FLAIR MR.
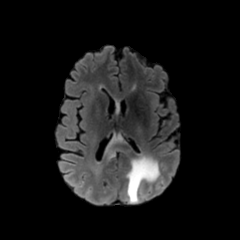
T1-weighted MR.
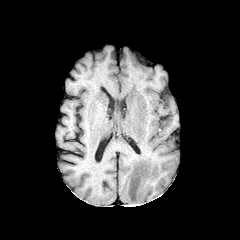
Post-contrast T1-weighted magnetic resonance.
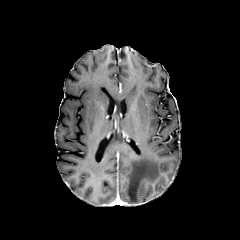
T2-weighted magnetic resonance.
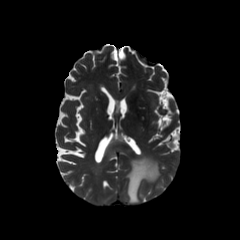
Axial plane
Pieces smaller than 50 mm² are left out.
peritumoral edema: bounding box 126,156,159,203; 104,135,126,158